Slice 97/155 | 240x240 | Axial plane | Head
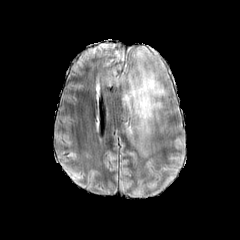
FLAIR MR.
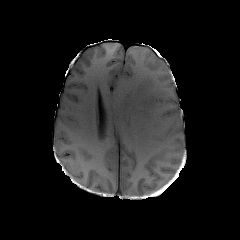
Same slice, T1-weighted magnetic resonance.
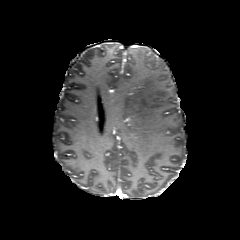
Post-contrast T1-weighted MR.
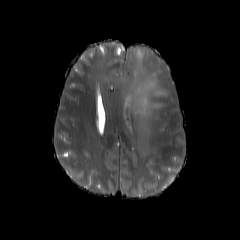
Same slice, T2-weighted magnetic resonance.
peritumoral edema — rect(117, 63, 167, 136)